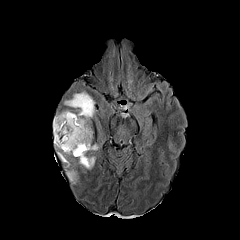
FLAIR magnetic resonance.
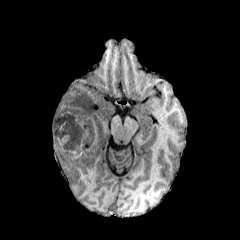
T1-weighted MR image.
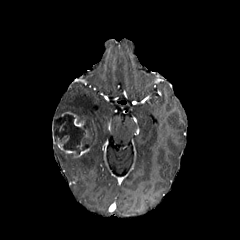
Post-contrast T1-weighted magnetic resonance.
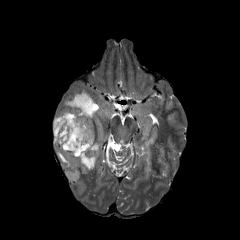
T2-weighted magnetic resonance.
Head.
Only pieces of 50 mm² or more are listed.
{"enhancing_tumor": ["l=58, t=142, r=75, b=155", "l=62, t=112, r=83, b=127", "l=75, t=148, r=90, b=157"], "necrotic_tumor_core": ["l=54, t=114, r=91, b=155"], "peritumoral_edema": ["l=66, t=154, r=77, b=166", "l=66, t=169, r=78, b=181", "l=55, t=145, r=70, b=167", "l=78, t=154, r=95, b=169", "l=90, t=143, r=98, b=151", "l=64, t=90, r=94, b=142"]}